240x240 | Head
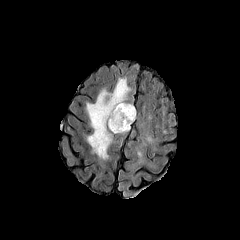
FLAIR magnetic resonance.
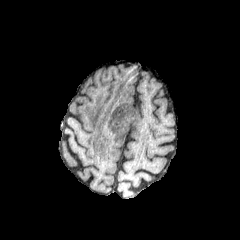
T1-weighted magnetic resonance of the same slice.
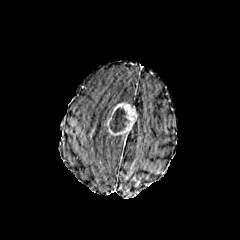
Post-contrast T1-weighted MR image.
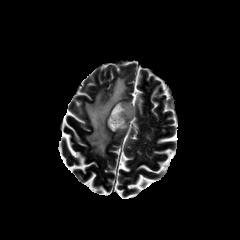
T2-weighted MRI.
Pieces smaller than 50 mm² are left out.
necrotic_tumor_core:
  - left=110, top=108, right=129, bottom=132
peritumoral_edema:
  - left=86, top=78, right=129, bottom=159
enhancing_tumor:
  - left=107, top=102, right=136, bottom=135